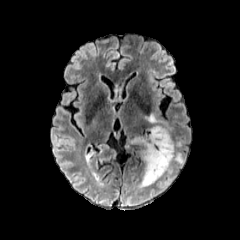
FLAIR MR image.
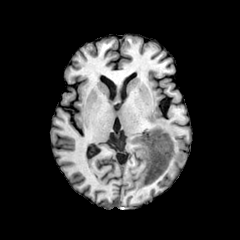
T1-weighted MR image.
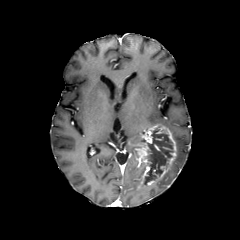
Post-contrast T1-weighted MRI.
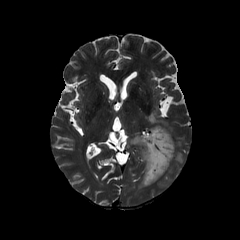
T2-weighted MR image of the same slice.
Brain
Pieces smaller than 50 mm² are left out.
enhancing tumor: [x1=132, y1=124, x2=176, y2=188] | necrotic tumor core: [x1=144, y1=130, x2=172, y2=184] | peritumoral edema: [x1=174, y1=140, x2=185, y2=165], [x1=145, y1=113, x2=172, y2=133]